Slice index 102 | 240x240
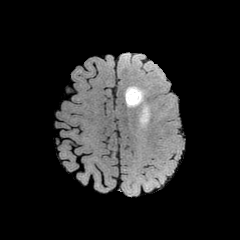
FLAIR MR.
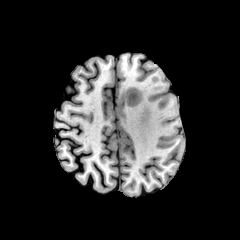
T1-weighted MR image.
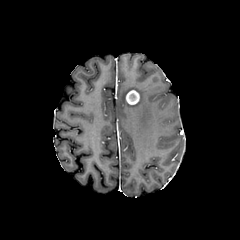
Post-contrast T1-weighted MR.
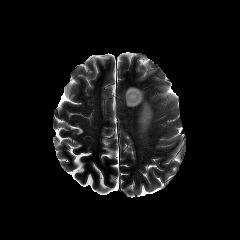
T2-weighted MR image of the same slice.
peritumoral edema: box(139, 103, 151, 130); box(125, 86, 144, 106) | enhancing tumor: box(126, 90, 139, 104)